Axial view, Brain
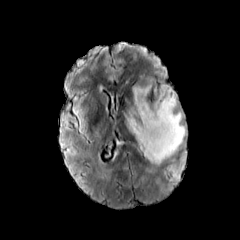
FLAIR MR.
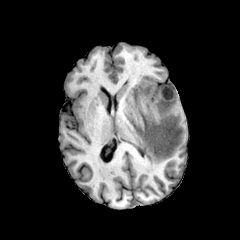
T1-weighted MRI.
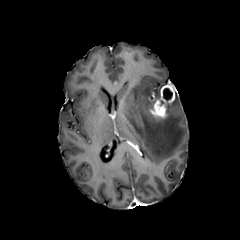
Same slice, post-contrast T1-weighted MR image.
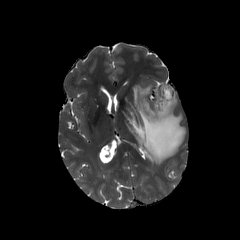
T2-weighted MR of the same slice.
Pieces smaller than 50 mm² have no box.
The enhancing tumor appears at [149, 85, 175, 118]. The largest peritumoral edema region is at [126, 85, 185, 164]. The largest necrotic tumor core region is bounded by [163, 88, 172, 100].